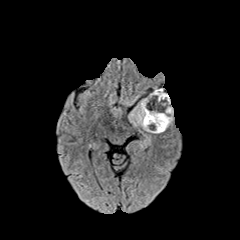
FLAIR MR.
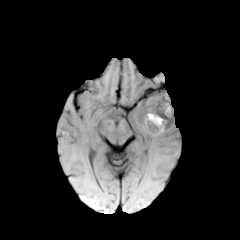
Same slice, T1-weighted MR.
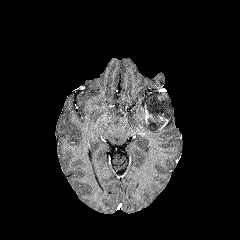
Post-contrast T1-weighted MR image of the same slice.
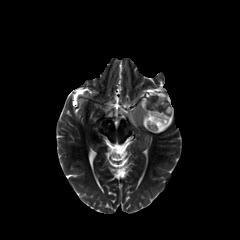
T2-weighted MR image.
Image size 240x240
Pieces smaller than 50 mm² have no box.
• enhancing tumor: 158,113,169,130; 143,105,152,123
• peritumoral edema: 129,90,173,133
• necrotic tumor core: 146,91,168,129